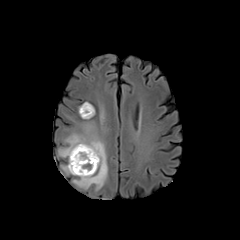
FLAIR MR.
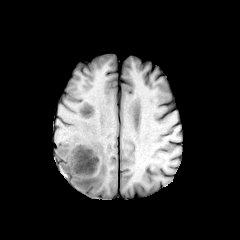
Same slice, T1-weighted MRI.
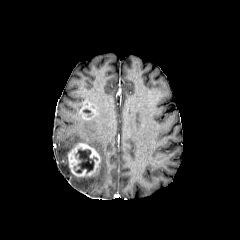
Post-contrast T1-weighted MR of the same slice.
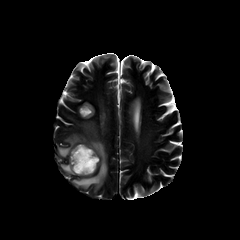
T2-weighted MR image.
Image size 240x240, Brain
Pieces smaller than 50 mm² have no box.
necrotic tumor core — (x1=83, y1=109, x2=92, y2=117), (x1=75, y1=149, x2=97, y2=173)
enhancing tumor — (x1=68, y1=143, x2=100, y2=177), (x1=79, y1=103, x2=95, y2=119)
peritumoral edema — (x1=61, y1=162, x2=71, y2=174), (x1=58, y1=121, x2=107, y2=191)